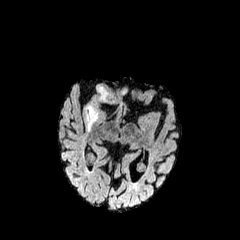
FLAIR MR.
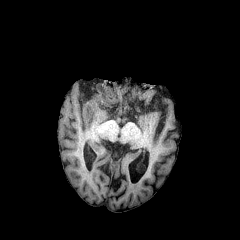
T1-weighted MRI.
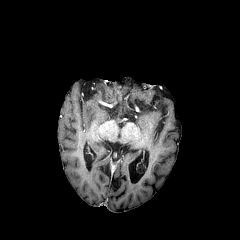
Post-contrast T1-weighted MR.
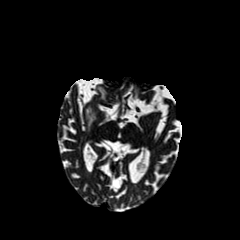
T2-weighted MR.
Axial view, Brain
peritumoral edema — x1=87, y1=105, x2=96, y2=130; x1=98, y1=87, x2=106, y2=100